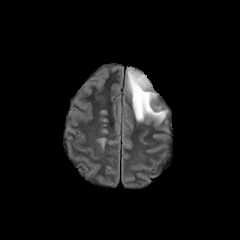
FLAIR MR.
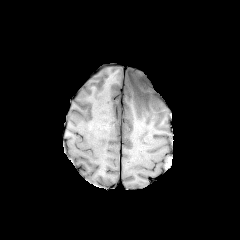
T1-weighted MR.
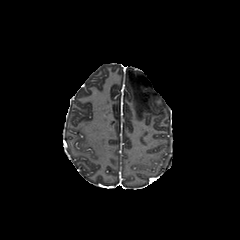
Post-contrast T1-weighted MR of the same slice.
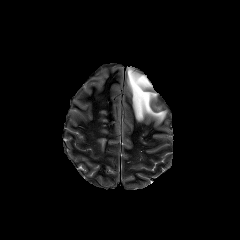
T2-weighted MR.
Brain
peritumoral_edema:
  - box(127, 68, 166, 122)